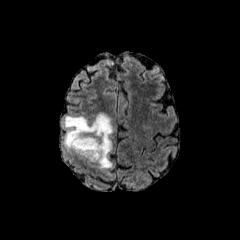
FLAIR MR image.
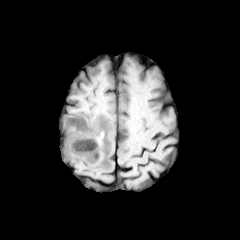
T1-weighted MR of the same slice.
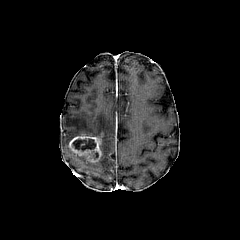
Post-contrast T1-weighted magnetic resonance of the same slice.
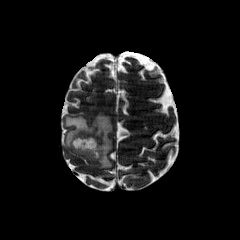
Same slice, T2-weighted magnetic resonance.
Head.
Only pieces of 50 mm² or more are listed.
enhancing tumor: (left=69, top=134, right=102, bottom=162) | necrotic tumor core: (left=72, top=139, right=95, bottom=151) | peritumoral edema: (left=64, top=113, right=113, bottom=168)